FLAIR MRI.
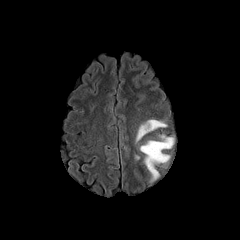
T1-weighted MR.
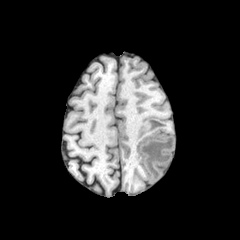
Post-contrast T1-weighted MRI.
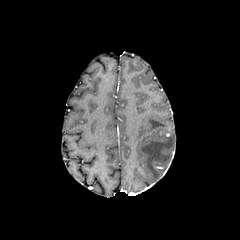
T2-weighted MRI.
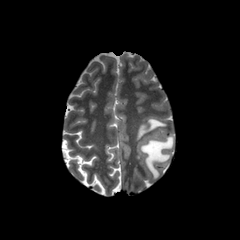
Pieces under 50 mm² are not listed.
The 2 largest peritumoral edema regions appear at {"x1": 140, "y1": 135, "x2": 173, "y2": 180}, {"x1": 136, "y1": 119, "x2": 166, "y2": 141}.